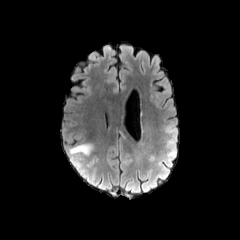
FLAIR MR.
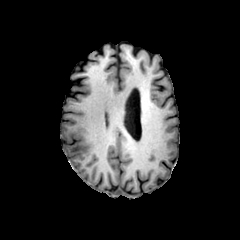
T1-weighted magnetic resonance.
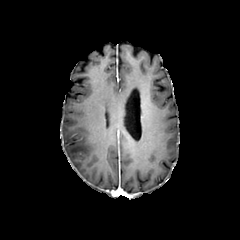
Post-contrast T1-weighted MR.
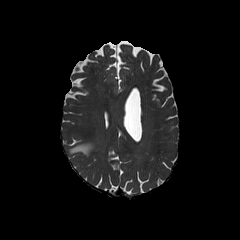
T2-weighted magnetic resonance of the same slice.
240x240
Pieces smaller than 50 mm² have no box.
peritumoral edema: box=[68, 143, 92, 155]